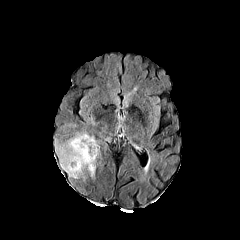
FLAIR magnetic resonance.
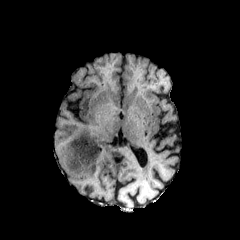
T1-weighted MR.
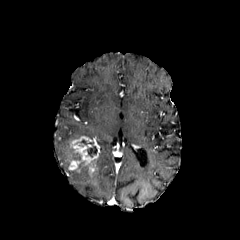
Post-contrast T1-weighted magnetic resonance.
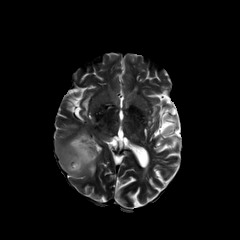
T2-weighted MRI.
240x240 px
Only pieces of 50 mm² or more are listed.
enhancing tumor: 69,136,99,170
peritumoral edema: 58,132,96,179
necrotic tumor core: 81,139,96,158